Axial plane. Slice index 68. Head.
FLAIR magnetic resonance.
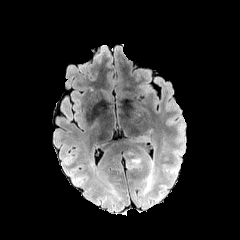
T1-weighted MRI.
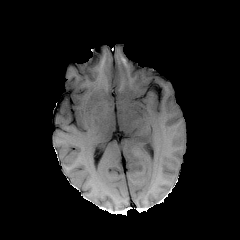
Post-contrast T1-weighted MRI.
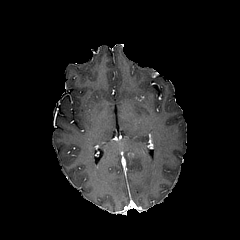
T2-weighted MR.
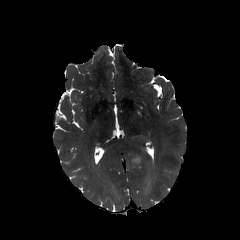
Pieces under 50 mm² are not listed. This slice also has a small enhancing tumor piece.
peritumoral edema — {"x1": 132, "y1": 157, "x2": 141, "y2": 164}